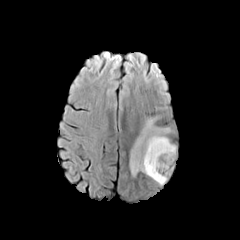
FLAIR MR.
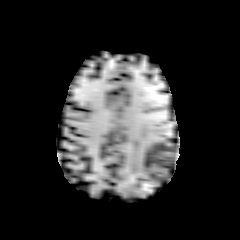
T1-weighted MRI of the same slice.
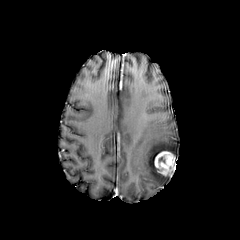
Post-contrast T1-weighted MRI.
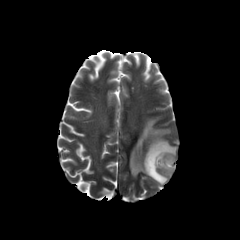
Same slice, T2-weighted MR image.
Axial slice; Brain
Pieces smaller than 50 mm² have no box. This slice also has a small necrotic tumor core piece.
The peritumoral edema appears at <box>130,119,176,185</box>. The enhancing tumor is located at <box>154,151,175,175</box>.